Axial plane. Slice 83 of 155. Head.
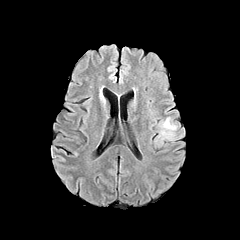
FLAIR MR.
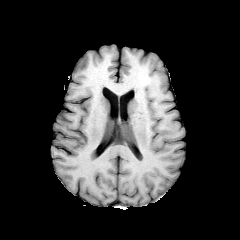
T1-weighted MR.
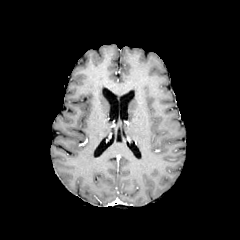
Post-contrast T1-weighted MR image of the same slice.
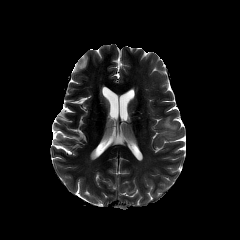
T2-weighted MRI of the same slice.
<segmentation>
  <peritumoral_edema>[x1=161, y1=117, x2=176, y2=137]</peritumoral_edema>
</segmentation>